Image width 240 mm; Brain; Slice 118/155
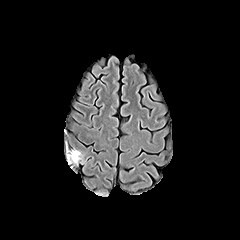
FLAIR MR.
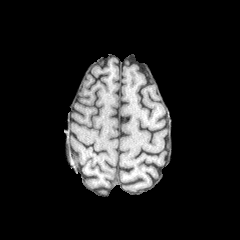
T1-weighted MRI of the same slice.
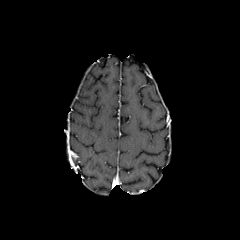
Same slice, post-contrast T1-weighted magnetic resonance.
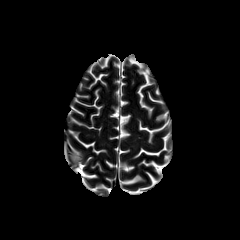
T2-weighted MR image.
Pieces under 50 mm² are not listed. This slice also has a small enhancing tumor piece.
peritumoral_edema:
  - bbox=[72, 150, 82, 163]